Head; 240x240
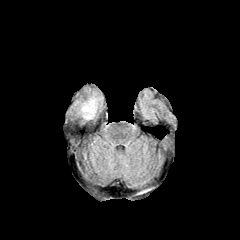
FLAIR MR.
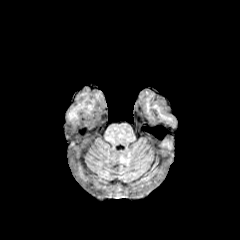
Same slice, T1-weighted MR.
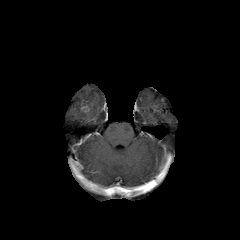
Post-contrast T1-weighted MR of the same slice.
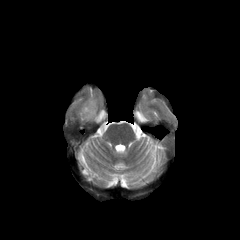
T2-weighted MR image of the same slice.
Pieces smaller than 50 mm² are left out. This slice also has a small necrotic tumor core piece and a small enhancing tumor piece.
peritumoral_edema:
  - region(75, 92, 102, 120)